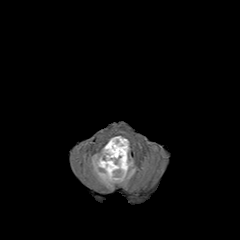
FLAIR MR image.
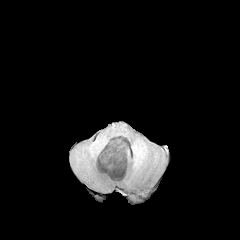
Same slice, T1-weighted MRI.
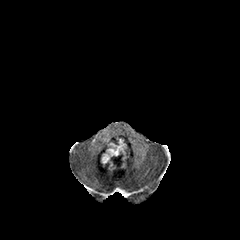
Same slice, post-contrast T1-weighted MR.
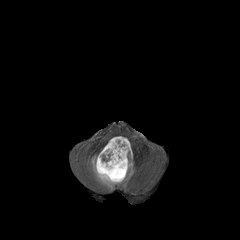
T2-weighted MRI of the same slice.
240x240
- enhancing tumor: box(98, 138, 127, 179)
- necrotic tumor core: box(111, 154, 122, 166)
- peritumoral edema: box(91, 136, 135, 188)